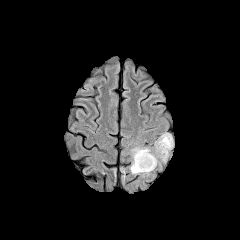
FLAIR MR.
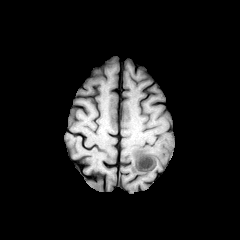
T1-weighted MRI.
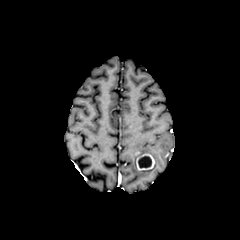
Same slice, post-contrast T1-weighted MRI.
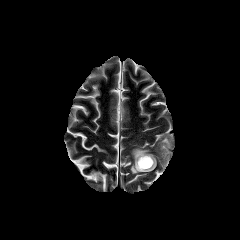
T2-weighted MR image of the same slice.
Head
2 peritumoral edema regions are bounded by {"x1": 130, "y1": 146, "x2": 157, "y2": 174}, {"x1": 156, "y1": 133, "x2": 173, "y2": 161}. The enhancing tumor is at {"x1": 135, "y1": 151, "x2": 154, "y2": 170}. The necrotic tumor core is at {"x1": 138, "y1": 156, "x2": 151, "y2": 167}.